Slice 76/155, Brain, 240x240
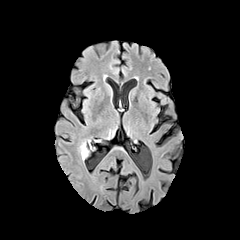
FLAIR MRI.
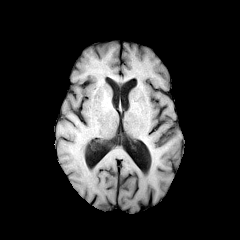
Same slice, T1-weighted MR.
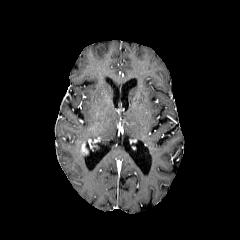
Post-contrast T1-weighted magnetic resonance.
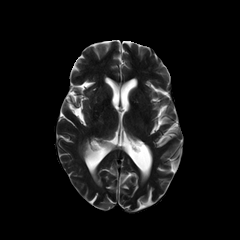
T2-weighted MR image of the same slice.
<segmentation>
  <peritumoral_edema>(x1=78, y1=137, x2=90, y2=159)</peritumoral_edema>
  <enhancing_tumor>(x1=81, y1=144, x2=87, y2=154)</enhancing_tumor>
</segmentation>